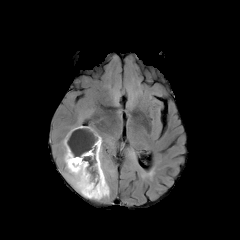
FLAIR MR.
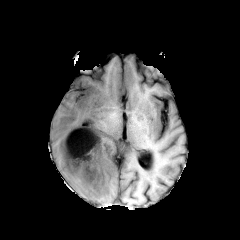
T1-weighted MR.
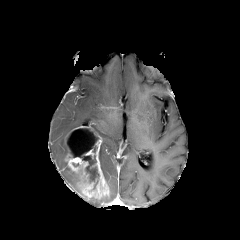
Post-contrast T1-weighted MR.
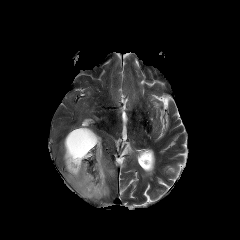
T2-weighted MR image.
240x240; Head; Axial plane
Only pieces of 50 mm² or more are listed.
enhancing tumor = 64, 126, 109, 199
necrotic tumor core = 66, 128, 99, 182
peritumoral edema = 70, 117, 82, 130; 99, 144, 114, 183; 61, 138, 80, 193